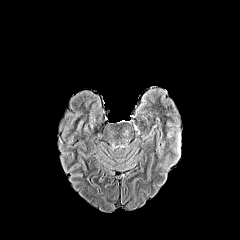
FLAIR MRI.
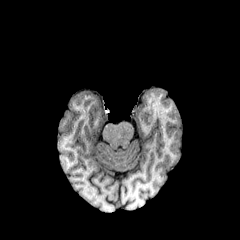
Same slice, T1-weighted magnetic resonance.
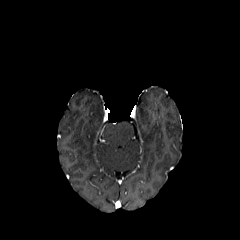
Same slice, post-contrast T1-weighted MR image.
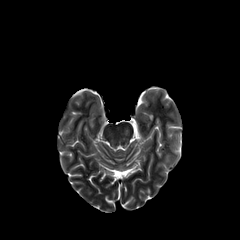
T2-weighted magnetic resonance of the same slice.
peritumoral edema = [x1=176, y1=132, x2=180, y2=152]